FLAIR MRI.
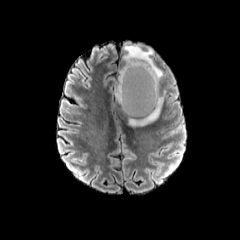
T1-weighted MRI.
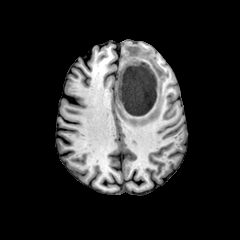
Post-contrast T1-weighted MR.
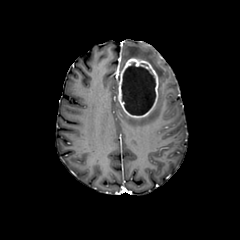
T2-weighted MRI.
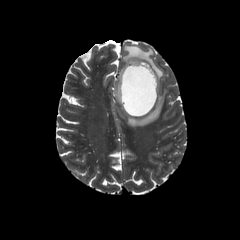
Axial plane; Brain
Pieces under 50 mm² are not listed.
{"peritumoral_edema": ["rect(128, 90, 166, 126)", "rect(123, 44, 163, 81)"], "necrotic_tumor_core": ["rect(121, 63, 155, 115)"], "enhancing_tumor": ["rect(118, 58, 158, 118)"]}